Slice 33/155 | Image size 240x240 | Axial plane
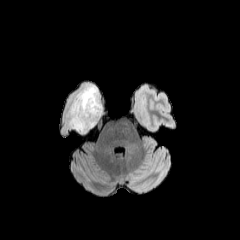
FLAIR MR image.
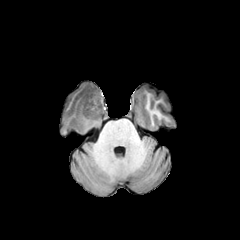
T1-weighted MRI.
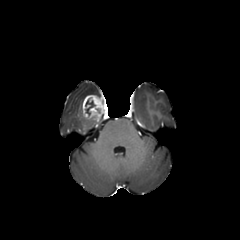
Post-contrast T1-weighted magnetic resonance.
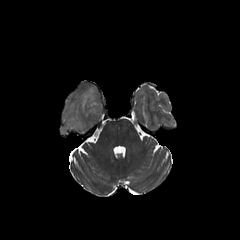
T2-weighted MRI.
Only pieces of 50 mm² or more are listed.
enhancing tumor: {"x1": 82, "y1": 95, "x2": 103, "y2": 121} | peritumoral edema: {"x1": 67, "y1": 85, "x2": 99, "y2": 133} | necrotic tumor core: {"x1": 85, "y1": 98, "x2": 95, "y2": 115}